Axial plane, 240x240, Brain
FLAIR MR image.
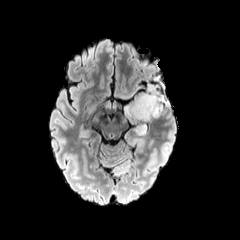
T1-weighted MR image.
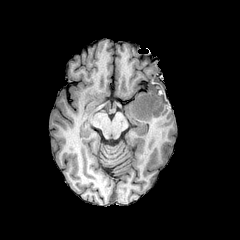
Post-contrast T1-weighted MR.
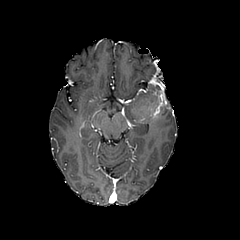
T2-weighted MR.
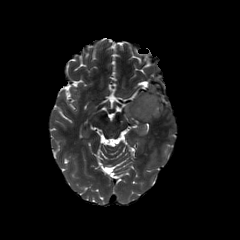
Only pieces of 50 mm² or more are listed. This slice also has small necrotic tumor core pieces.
Segmented structures:
* peritumoral edema: (x1=124, y1=93, x2=152, y2=124), (x1=134, y1=124, x2=147, y2=134)
* enhancing tumor: (x1=133, y1=91, x2=163, y2=119)